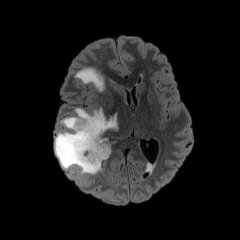
FLAIR MRI.
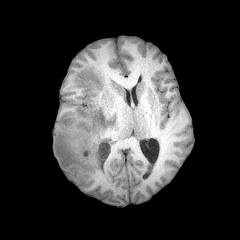
Same slice, T1-weighted MR.
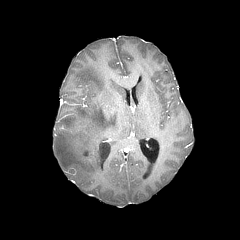
Post-contrast T1-weighted MRI of the same slice.
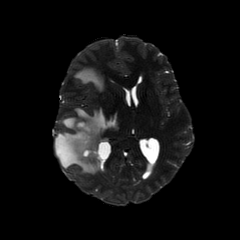
T2-weighted MRI.
Brain
2 peritumoral edema regions are located at bbox(75, 67, 104, 91); bbox(54, 108, 117, 175). The enhancing tumor is at bbox(77, 122, 86, 128).